FLAIR magnetic resonance.
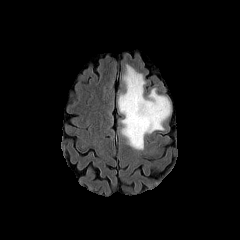
T1-weighted MR image.
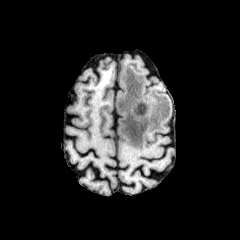
Post-contrast T1-weighted MR.
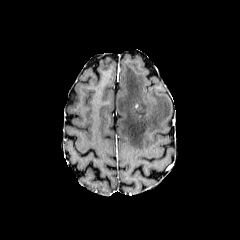
T2-weighted magnetic resonance.
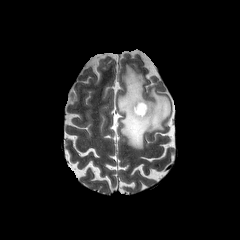
Image size 240x240. Brain. Axial view.
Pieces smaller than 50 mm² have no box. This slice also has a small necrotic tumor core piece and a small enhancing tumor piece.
peritumoral_edema:
  - 118,65,170,149